Axial plane, Image size 240x240, Slice 52/155
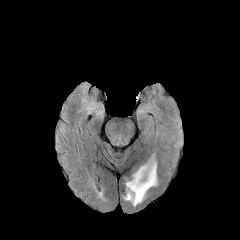
FLAIR magnetic resonance.
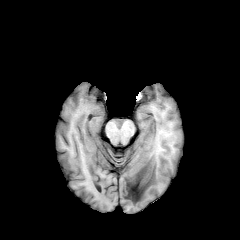
T1-weighted MR of the same slice.
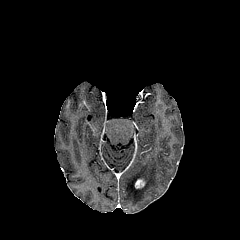
Post-contrast T1-weighted MR.
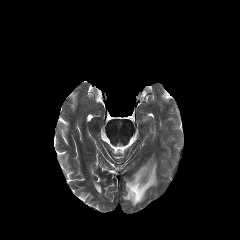
T2-weighted MRI of the same slice.
{
  "enhancing_tumor": [
    "region(135, 178, 145, 188)"
  ],
  "peritumoral_edema": [
    "region(124, 158, 157, 206)"
  ]
}